Brain; Image width 240 mm; 240x240 px
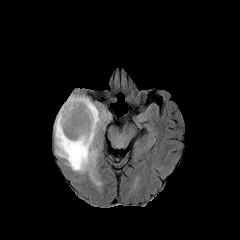
FLAIR MRI.
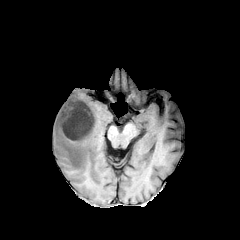
T1-weighted MRI of the same slice.
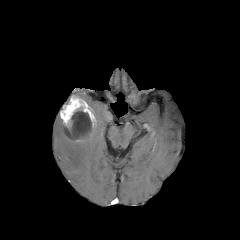
Post-contrast T1-weighted MR.
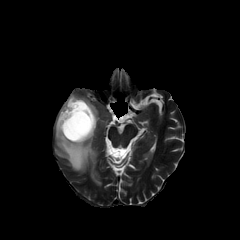
Same slice, T2-weighted magnetic resonance.
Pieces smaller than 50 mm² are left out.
enhancing tumor = bbox=[65, 95, 96, 141]; bbox=[60, 103, 75, 135]
necrotic tumor core = bbox=[64, 100, 91, 139]
peritumoral edema = bbox=[54, 95, 105, 184]